Axial plane
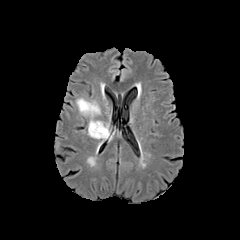
FLAIR MR image.
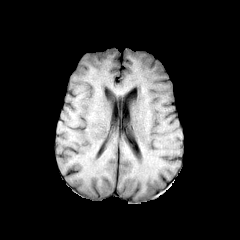
T1-weighted MR image.
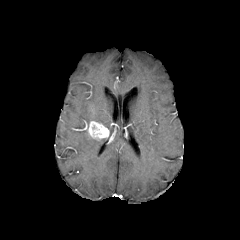
Post-contrast T1-weighted MR image.
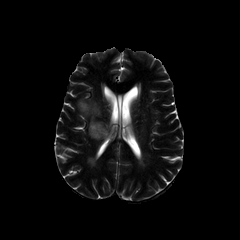
Same slice, T2-weighted MR.
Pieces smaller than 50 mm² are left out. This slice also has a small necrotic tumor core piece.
peritumoral_edema:
  - [77, 98, 108, 128]
enhancing_tumor:
  - [88, 121, 109, 139]